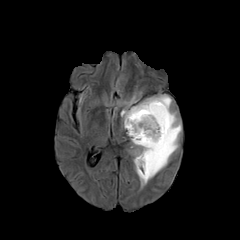
FLAIR MR image.
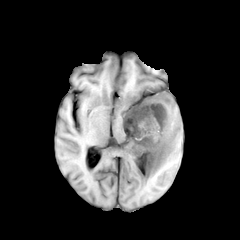
T1-weighted MR of the same slice.
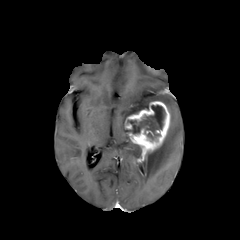
Post-contrast T1-weighted magnetic resonance.
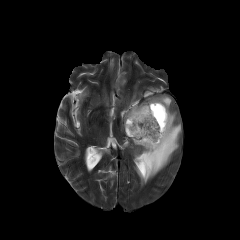
T2-weighted magnetic resonance.
Image size 240x240. Head. Axial view.
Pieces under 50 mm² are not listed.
peritumoral edema: bounding box bbox=[121, 95, 181, 186]; bbox=[133, 144, 141, 161]
enhancing tumor: bounding box bbox=[124, 101, 170, 162]
necrotic tumor core: bounding box bbox=[127, 105, 164, 136]